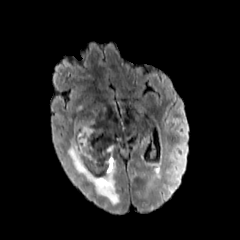
FLAIR MR image.
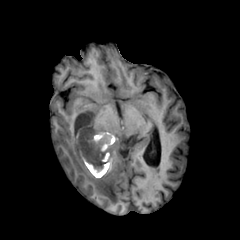
T1-weighted MR.
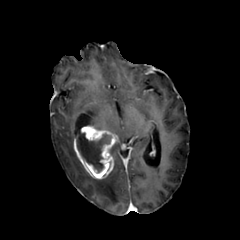
Post-contrast T1-weighted MRI.
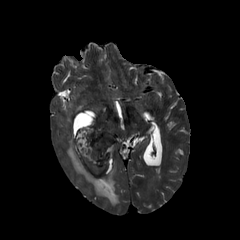
T2-weighted magnetic resonance of the same slice.
Image size 240x240
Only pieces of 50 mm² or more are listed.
{"enhancing_tumor": ["bbox(73, 125, 115, 178)"], "necrotic_tumor_core": ["bbox(77, 133, 111, 172)"], "peritumoral_edema": ["bbox(67, 139, 119, 205)"]}